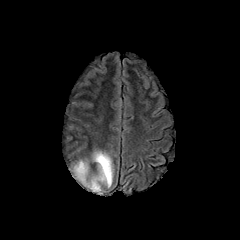
FLAIR MRI.
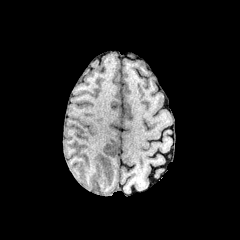
T1-weighted MR.
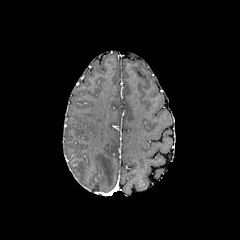
Post-contrast T1-weighted magnetic resonance.
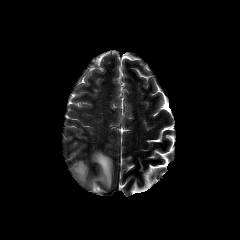
Same slice, T2-weighted magnetic resonance.
Brain; Axial view
peritumoral_edema:
  - <box>73,151,113,191</box>